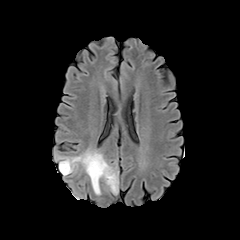
FLAIR MR.
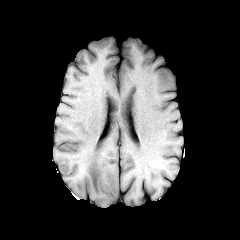
Same slice, T1-weighted magnetic resonance.
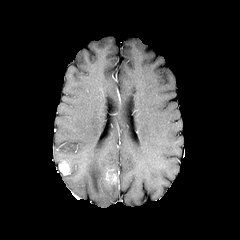
Post-contrast T1-weighted magnetic resonance of the same slice.
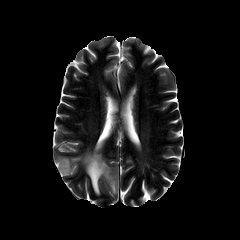
T2-weighted magnetic resonance.
Head; Axial slice
Findings:
• enhancing tumor: (x1=105, y1=169, x2=117, y2=184), (x1=59, y1=160, x2=69, y2=175)
• peritumoral edema: (x1=57, y1=150, x2=117, y2=195), (x1=105, y1=181, x2=117, y2=194)